FLAIR MR.
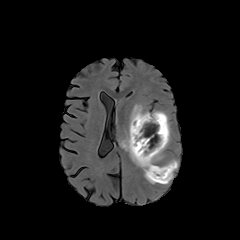
T1-weighted MRI.
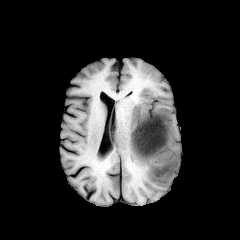
Post-contrast T1-weighted MRI.
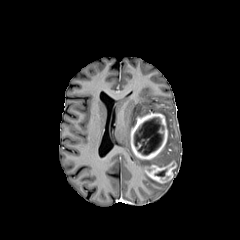
T2-weighted magnetic resonance.
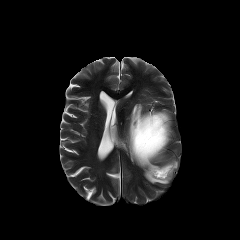
Head.
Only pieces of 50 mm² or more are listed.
peritumoral edema = 120:104:169:183
necrotic tumor core = 155:169:166:176, 134:118:163:154
enhancing tumor = 145:160:176:183, 130:112:167:160